FLAIR MR.
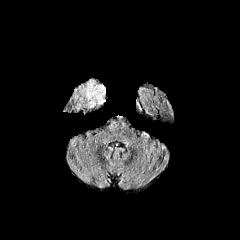
T1-weighted MR image.
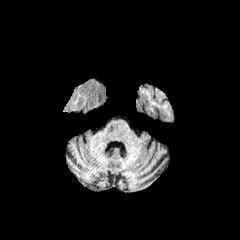
Post-contrast T1-weighted magnetic resonance.
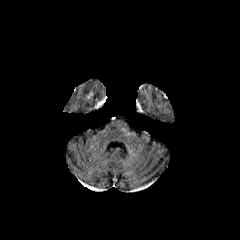
T2-weighted magnetic resonance.
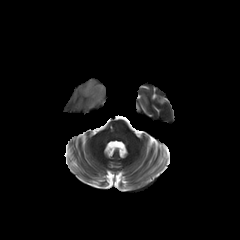
Head
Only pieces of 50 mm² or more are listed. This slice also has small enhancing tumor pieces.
peritumoral edema: <box>83,80,105,107</box>